FLAIR MR.
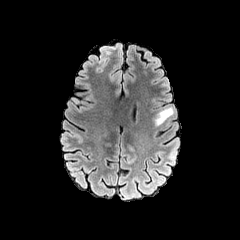
T1-weighted MRI.
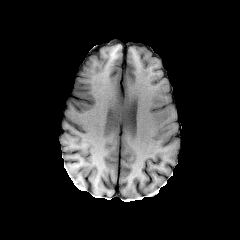
Post-contrast T1-weighted MR.
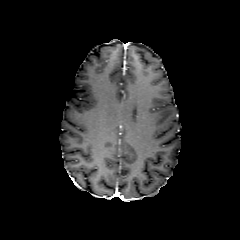
T2-weighted MRI.
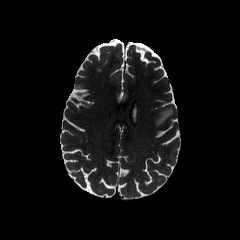
240x240 | Brain
peritumoral edema: bounding box (154,107,173,125)